FLAIR MRI.
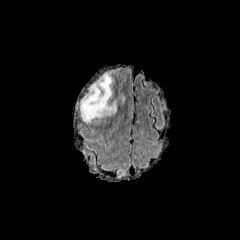
T1-weighted MRI.
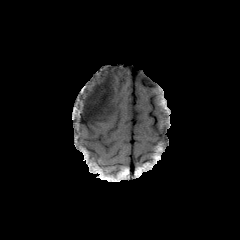
Post-contrast T1-weighted MR.
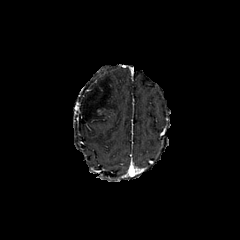
T2-weighted MR image.
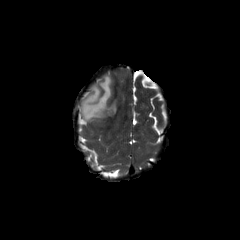
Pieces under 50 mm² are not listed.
Segmented structures:
• peritumoral edema: 79 73 116 123
• enhancing tumor: 97 108 114 116